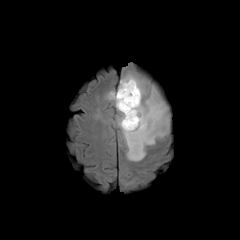
FLAIR MRI.
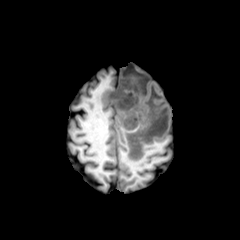
T1-weighted magnetic resonance of the same slice.
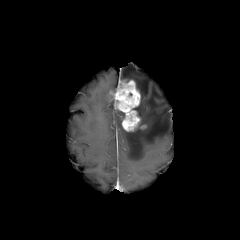
Post-contrast T1-weighted MRI.
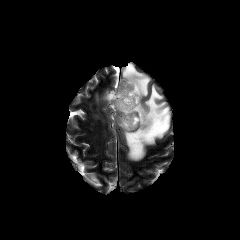
T2-weighted MRI.
Head; Axial slice
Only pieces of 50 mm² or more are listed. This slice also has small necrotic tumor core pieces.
<segmentation>
  <enhancing_tumor>x1=109 y1=79 x2=140 y2=131</enhancing_tumor>
  <peritumoral_edema>x1=116 y1=66 x2=169 y2=161</peritumoral_edema>
</segmentation>